Axial view | Head
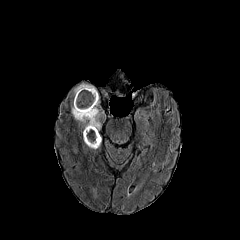
FLAIR magnetic resonance.
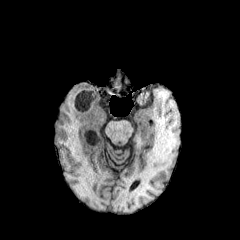
T1-weighted MR image.
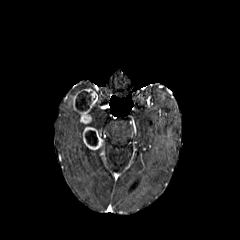
Post-contrast T1-weighted MR image.
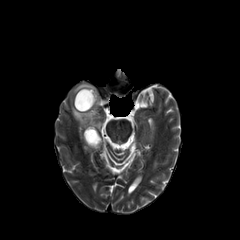
Same slice, T2-weighted MR.
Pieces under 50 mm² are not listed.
Findings:
* enhancing tumor: 83, 127, 102, 150; 72, 88, 98, 123
* peritumoral edema: 68, 83, 105, 148
* necrotic tumor core: 75, 91, 91, 110; 85, 130, 97, 145